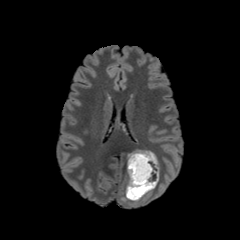
FLAIR MR image.
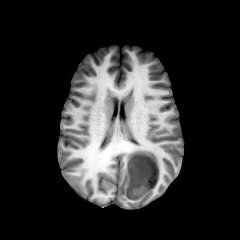
Same slice, T1-weighted MR.
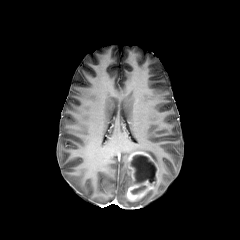
Post-contrast T1-weighted MR image of the same slice.
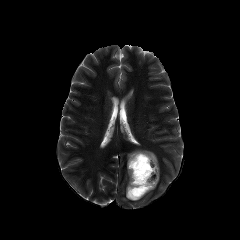
T2-weighted MR.
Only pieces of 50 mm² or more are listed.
peritumoral edema: bounding box region(136, 150, 158, 166)
enhancing tumor: bounding box region(126, 151, 158, 200)
necrotic tumor core: bounding box region(130, 155, 156, 183); region(131, 186, 146, 194)